Slice index 76 | Axial plane | Head
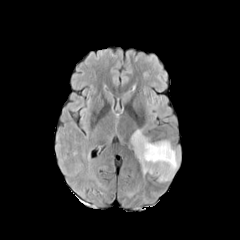
FLAIR MRI.
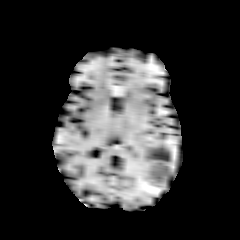
T1-weighted MR image.
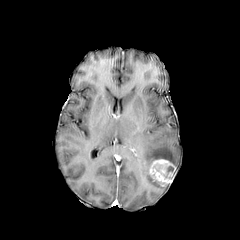
Post-contrast T1-weighted magnetic resonance of the same slice.
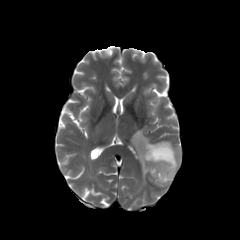
T2-weighted MRI.
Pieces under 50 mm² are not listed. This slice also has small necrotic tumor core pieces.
<segmentation>
  <peritumoral_edema>l=131, t=129, r=180, b=175</peritumoral_edema>
  <enhancing_tumor>l=149, t=159, r=176, b=184</enhancing_tumor>
</segmentation>